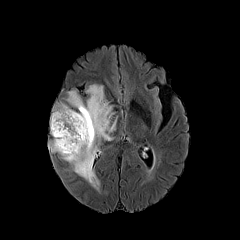
FLAIR MR.
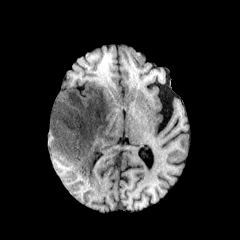
T1-weighted MRI of the same slice.
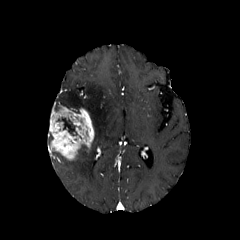
Post-contrast T1-weighted MR image.
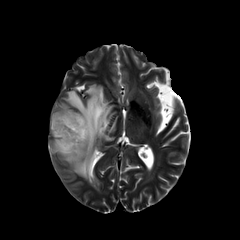
T2-weighted MR image.
Brain. Axial view. 240x240 px.
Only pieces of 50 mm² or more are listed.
The largest peritumoral edema region is bounded by [63, 84, 117, 189]. The largest necrotic tumor core region is located at [57, 117, 75, 135]. The enhancing tumor is at [48, 103, 94, 160].